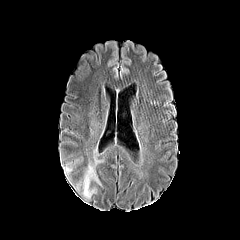
FLAIR MR image.
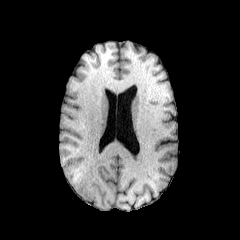
Same slice, T1-weighted MR.
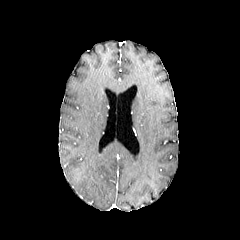
Post-contrast T1-weighted MR image of the same slice.
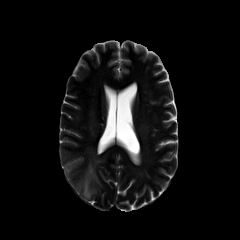
T2-weighted MR.
Axial plane
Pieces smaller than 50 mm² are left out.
peritumoral edema: bounding box (left=82, top=159, right=100, bottom=198)